Axial slice, 240x240 px, Slice index 62, Brain
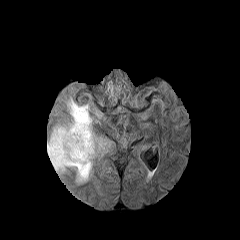
FLAIR MRI.
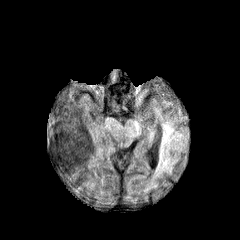
T1-weighted MR of the same slice.
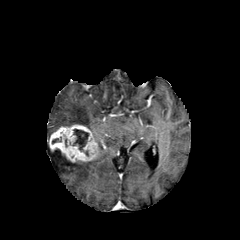
Post-contrast T1-weighted magnetic resonance of the same slice.
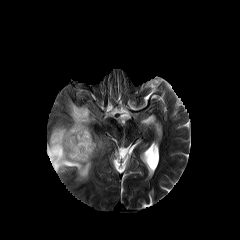
T2-weighted MR.
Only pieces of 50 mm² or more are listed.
necrotic tumor core at left=73, top=129, right=88, bottom=150
enhancing tumor at left=49, top=124, right=98, bottom=162
peritumoral edema at left=51, top=99, right=106, bottom=151; left=47, top=141, right=92, bottom=182